Image width 240 mm, 1.00 mm slice spacing | Slice 82 of 155 | Brain
FLAIR MR.
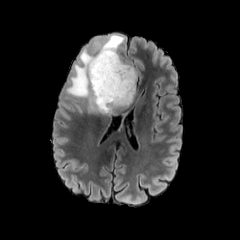
T1-weighted MR image.
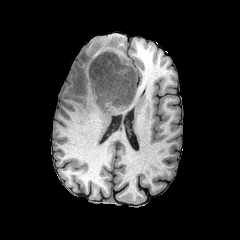
Post-contrast T1-weighted MR image.
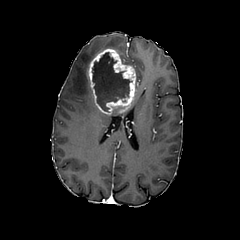
T2-weighted MRI.
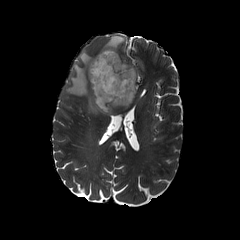
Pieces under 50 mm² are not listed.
Segmented structures:
* enhancing tumor: 88:48:136:115
* peritumoral edema: 66:50:100:114, 121:111:128:126, 98:35:124:52
* necrotic tumor core: 92:52:132:111